FLAIR MR.
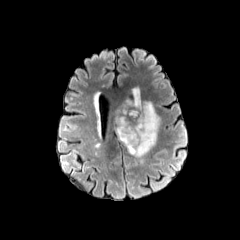
T1-weighted MR.
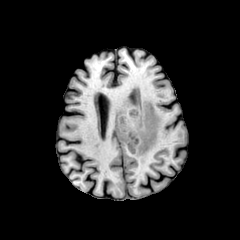
Post-contrast T1-weighted MRI.
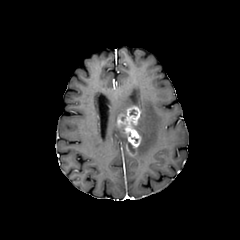
T2-weighted magnetic resonance.
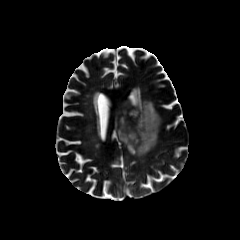
240x240 px | Head | Axial plane
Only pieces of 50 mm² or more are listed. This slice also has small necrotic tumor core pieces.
- enhancing tumor: (left=116, top=106, right=140, bottom=155)
- peritumoral edema: (left=116, top=88, right=160, bottom=157), (left=115, top=116, right=127, bottom=145)